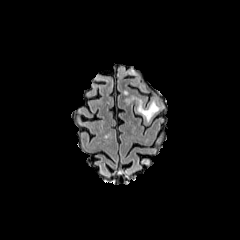
FLAIR MR.
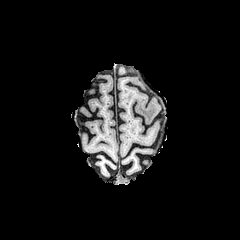
Same slice, T1-weighted magnetic resonance.
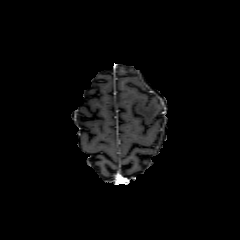
Same slice, post-contrast T1-weighted magnetic resonance.
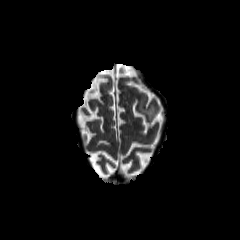
T2-weighted MRI.
Head
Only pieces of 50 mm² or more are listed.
The largest peritumoral edema region is bounded by 137, 100, 161, 120.